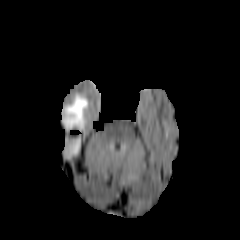
FLAIR MR.
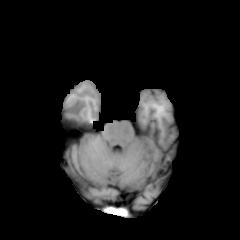
T1-weighted magnetic resonance.
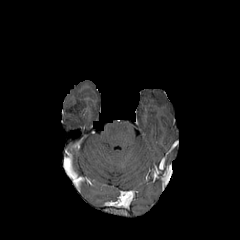
Same slice, post-contrast T1-weighted MR.
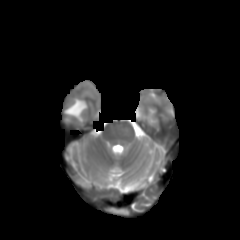
Same slice, T2-weighted MR image.
Brain
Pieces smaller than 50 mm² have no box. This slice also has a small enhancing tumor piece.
The largest peritumoral edema region is at {"x1": 61, "y1": 95, "x2": 87, "y2": 146}.